FLAIR MR.
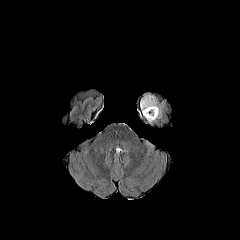
T1-weighted MR.
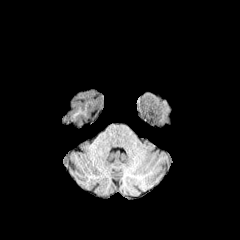
Post-contrast T1-weighted MRI.
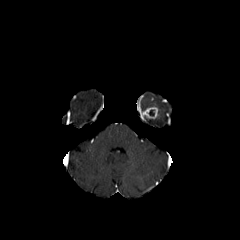
T2-weighted MRI.
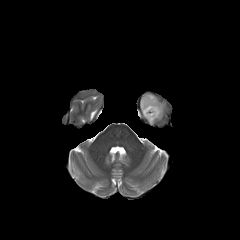
Brain. Axial view. 240x240.
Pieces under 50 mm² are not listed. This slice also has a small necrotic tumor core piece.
peritumoral edema: left=140, top=94, right=163, bottom=123 | enhancing tumor: left=140, top=106, right=158, bottom=119